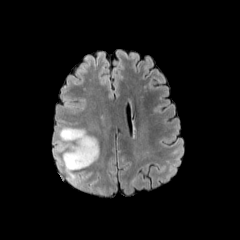
FLAIR MR image.
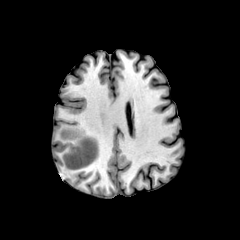
T1-weighted MRI of the same slice.
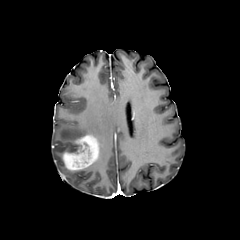
Post-contrast T1-weighted MR.
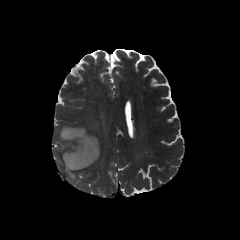
T2-weighted MR image.
240x240, Brain, Axial plane
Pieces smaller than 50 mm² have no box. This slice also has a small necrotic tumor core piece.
peritumoral edema: [55, 127, 92, 182] | enhancing tumor: [62, 135, 99, 170]